Image width 240 mm, 1.00 mm slice spacing | Axial plane
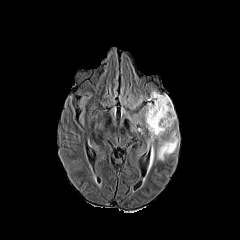
FLAIR MR image.
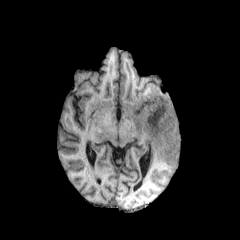
Same slice, T1-weighted MR image.
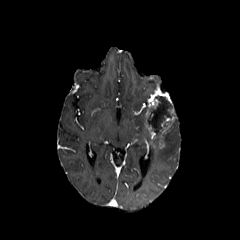
Post-contrast T1-weighted MRI.
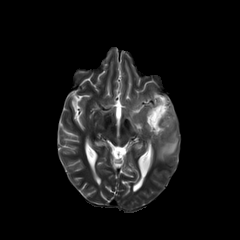
T2-weighted MR image.
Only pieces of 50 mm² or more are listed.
The largest peritumoral edema region lies within box=[153, 122, 179, 160]. The largest necrotic tumor core region appears at box=[147, 96, 172, 135]. The largest enhancing tumor region is located at box=[144, 90, 176, 148].